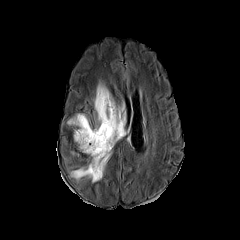
FLAIR MR.
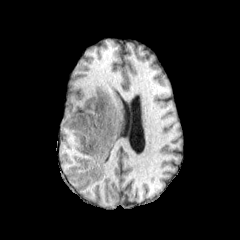
Same slice, T1-weighted MR.
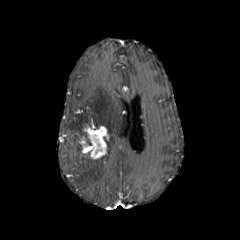
Post-contrast T1-weighted MR image.
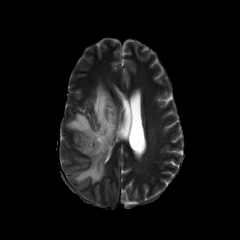
T2-weighted MR image.
240x240 px, Head, Axial view
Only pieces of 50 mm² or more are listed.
The 2 largest peritumoral edema regions are located at bbox(72, 83, 124, 182); bbox(67, 114, 91, 143). The enhancing tumor appears at bbox(79, 124, 109, 159).